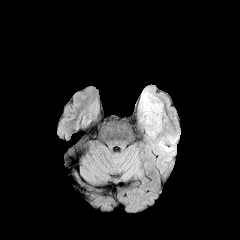
FLAIR magnetic resonance.
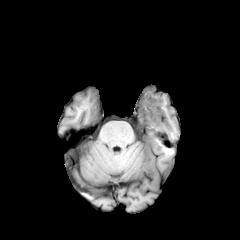
T1-weighted MR image of the same slice.
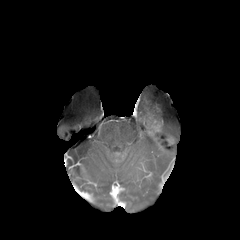
Post-contrast T1-weighted magnetic resonance of the same slice.
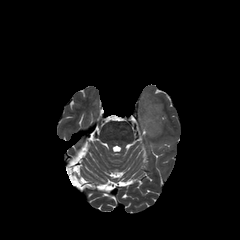
T2-weighted magnetic resonance.
240x240.
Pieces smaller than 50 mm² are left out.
peritumoral edema: bounding box x1=138 y1=89 x2=167 y2=134
enhancing tumor: bounding box x1=141 y1=112 x2=162 y2=138